FLAIR MRI.
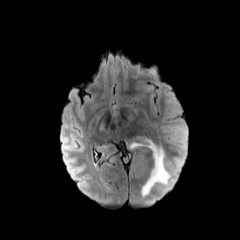
T1-weighted MRI.
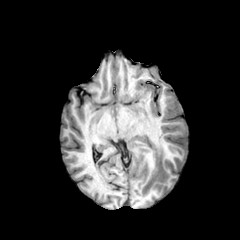
Post-contrast T1-weighted MR image.
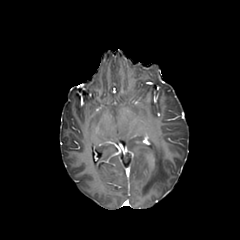
T2-weighted MR image.
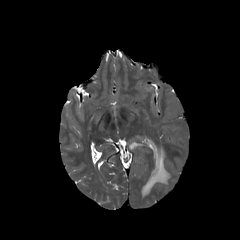
Axial slice.
peritumoral edema: bbox(141, 143, 170, 196); bbox(130, 142, 146, 148)